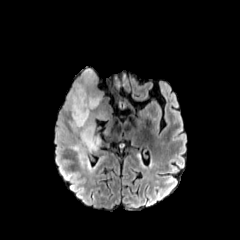
FLAIR MRI.
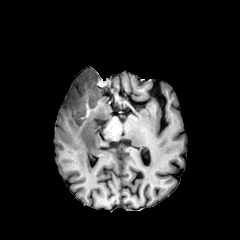
Same slice, T1-weighted MRI.
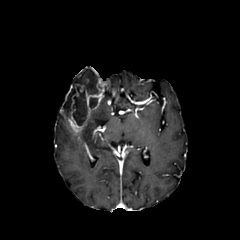
Post-contrast T1-weighted MRI.
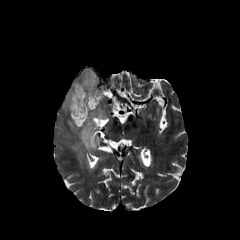
T2-weighted MR.
Brain
3 peritumoral edema regions are bounded by <bbox>63, 68, 98, 114</bbox>, <bbox>58, 113, 64, 127</bbox>, <bbox>57, 107, 106, 168</bbox>. The enhancing tumor is bounded by <bbox>60, 79, 103, 135</bbox>. 2 necrotic tumor core regions are bounded by <bbox>73, 86, 87, 125</bbox>, <bbox>89, 97, 98, 108</bbox>.